FLAIR MR.
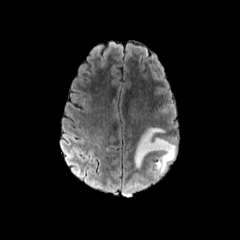
T1-weighted magnetic resonance.
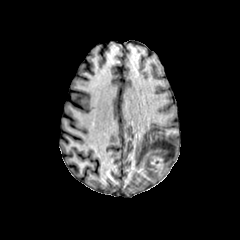
Post-contrast T1-weighted MRI.
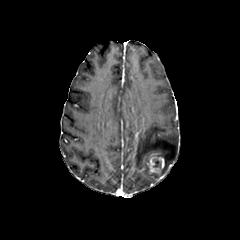
T2-weighted MRI.
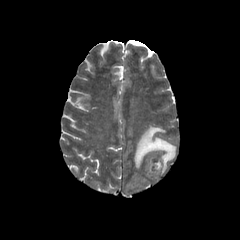
Image size 240x240 | Head
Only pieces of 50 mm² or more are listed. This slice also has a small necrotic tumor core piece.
The largest peritumoral edema region is bounded by [134,127,176,174]. The enhancing tumor is located at [147,152,165,177].